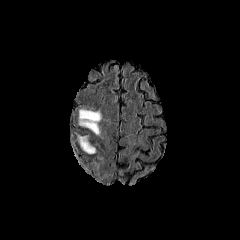
FLAIR MR image.
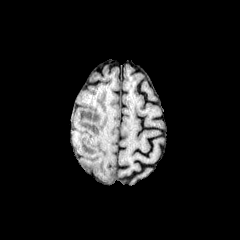
T1-weighted MR image of the same slice.
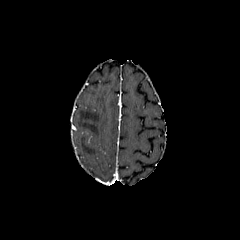
Post-contrast T1-weighted magnetic resonance of the same slice.
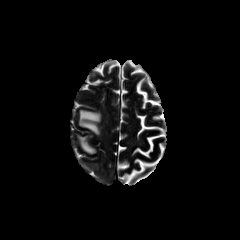
T2-weighted MRI of the same slice.
Brain. Image size 240x240.
peritumoral_edema:
  - (78,136,95,153)
  - (79,109,101,134)